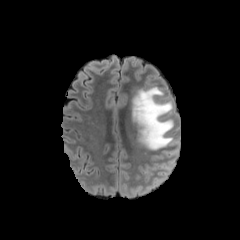
FLAIR magnetic resonance.
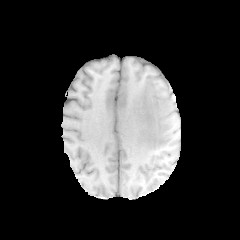
Same slice, T1-weighted MR image.
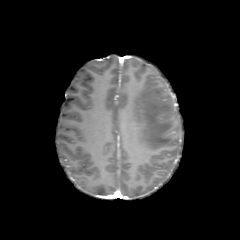
Post-contrast T1-weighted MR image.
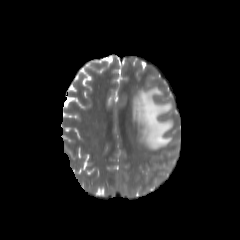
Same slice, T2-weighted magnetic resonance.
Axial slice
peritumoral edema: (132, 87, 173, 150)